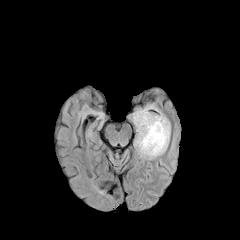
FLAIR magnetic resonance.
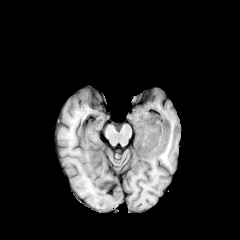
T1-weighted MR image.
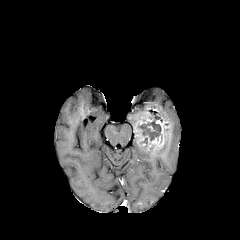
Same slice, post-contrast T1-weighted magnetic resonance.
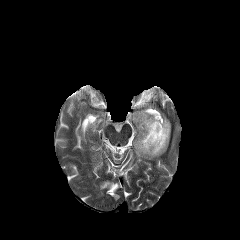
T2-weighted MR.
Axial view
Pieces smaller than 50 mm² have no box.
necrotic tumor core = 138,120,161,140
enhancing tumor = 135,107,170,155
peritumoral edema = 146,104,167,119; 134,139,169,159; 130,107,145,125